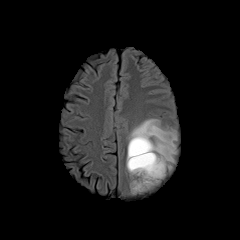
FLAIR MRI.
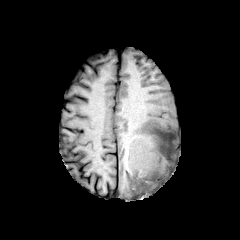
Same slice, T1-weighted MRI.
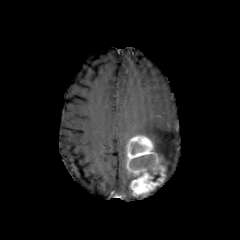
Post-contrast T1-weighted MRI of the same slice.
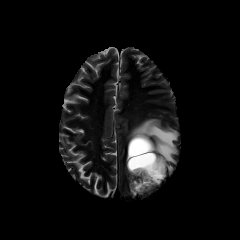
T2-weighted magnetic resonance.
240x240.
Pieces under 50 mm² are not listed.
peritumoral edema: region(127, 118, 177, 171) | necrotic tumor core: region(130, 155, 153, 175); region(145, 172, 160, 182) | enhancing tumor: region(126, 134, 166, 196)